FLAIR MR image.
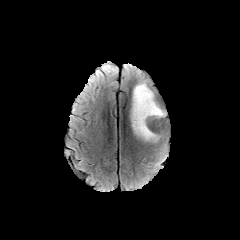
T1-weighted MR.
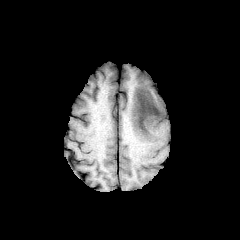
Post-contrast T1-weighted MRI.
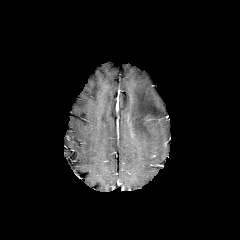
T2-weighted MR image.
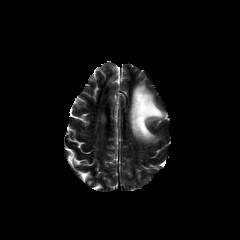
Head, Axial plane, Image size 240x240
peritumoral edema at 130:81:166:142